Axial view; Head; Slice index 92
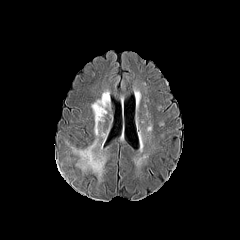
FLAIR MRI.
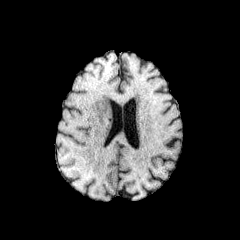
T1-weighted magnetic resonance of the same slice.
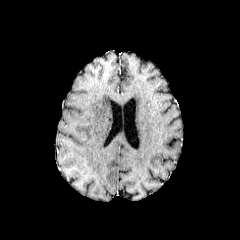
Post-contrast T1-weighted magnetic resonance.
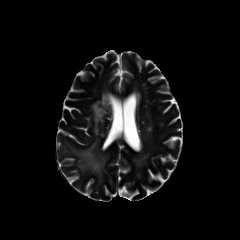
Same slice, T2-weighted MRI.
peritumoral_edema:
  - x1=76 y1=142 x2=105 y2=176
  - x1=91 y1=94 x2=107 y2=134